240x240 px | Axial view | Brain
FLAIR MR image.
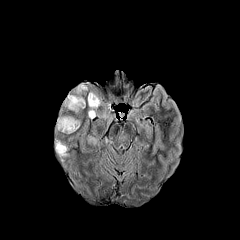
T1-weighted magnetic resonance.
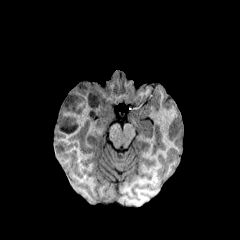
Post-contrast T1-weighted MR.
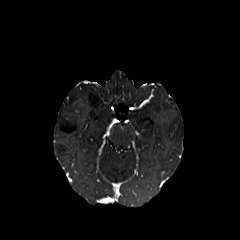
T2-weighted MRI.
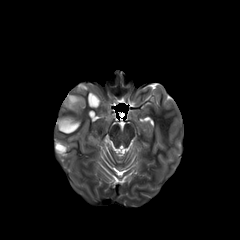
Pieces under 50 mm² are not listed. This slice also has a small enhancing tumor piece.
peritumoral_edema:
  - <box>57,117,80,133</box>
  - <box>68,84,87,108</box>
  - <box>100,113,111,121</box>
  - <box>56,144,66,155</box>
  - <box>87,92,101,118</box>
necrotic_tumor_core:
  - <box>69,98,82,113</box>